FLAIR MR.
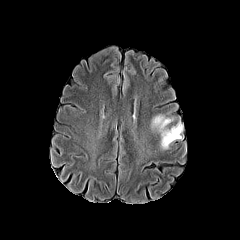
T1-weighted MR.
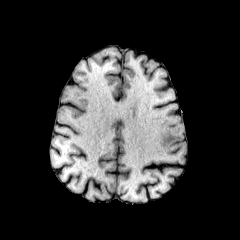
Post-contrast T1-weighted MR image.
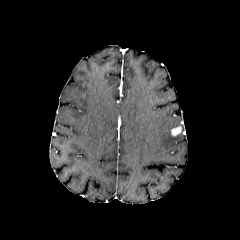
T2-weighted magnetic resonance.
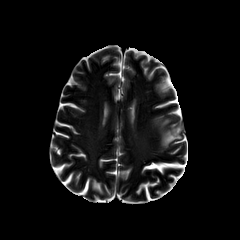
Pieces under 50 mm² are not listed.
• enhancing tumor: box=[171, 126, 181, 136]
• peritumoral edema: box=[151, 115, 182, 149]